Axial view | Slice 68 of 155
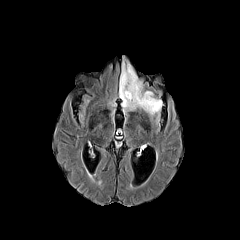
FLAIR MRI.
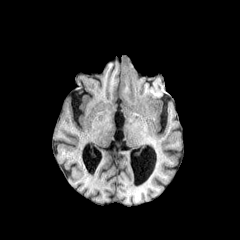
Same slice, T1-weighted magnetic resonance.
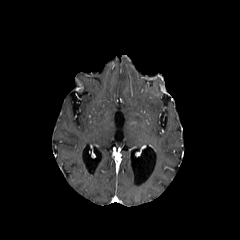
Post-contrast T1-weighted MRI.
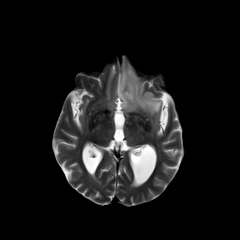
Same slice, T2-weighted MR image.
peritumoral edema: 119:57:162:123